Slice index 77 | Image covers 240 mm x 240 mm
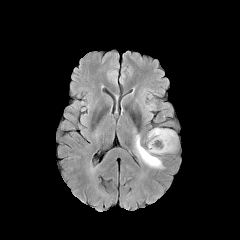
FLAIR MR.
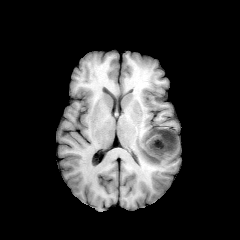
T1-weighted MR.
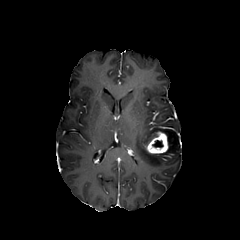
Post-contrast T1-weighted MR image of the same slice.
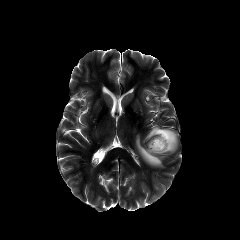
T2-weighted MR image.
necrotic tumor core — bbox=[152, 140, 162, 147]
enhancing tumor — bbox=[146, 131, 169, 153]
peritumoral edema — bbox=[135, 135, 163, 167]; bbox=[147, 128, 177, 152]